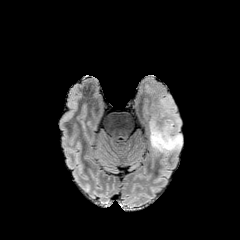
FLAIR MR image.
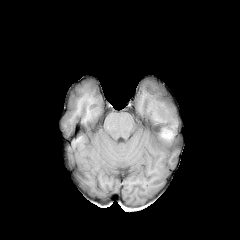
T1-weighted MRI.
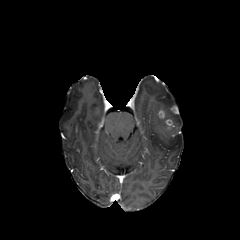
Same slice, post-contrast T1-weighted MR image.
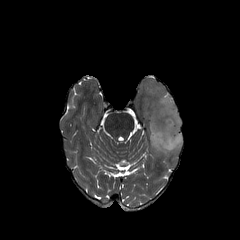
T2-weighted MR.
Head, Axial view
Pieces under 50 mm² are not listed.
enhancing tumor: bounding box region(165, 119, 173, 128); region(158, 110, 165, 118)
peritumoral edema: bounding box region(144, 80, 182, 157)